Image width 240 mm, 1.00 mm slice spacing; Slice index 70; Head
FLAIR MR.
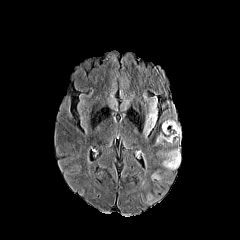
T1-weighted MR image.
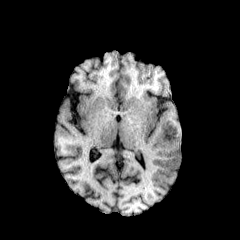
Post-contrast T1-weighted MRI.
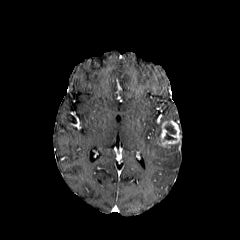
T2-weighted MR.
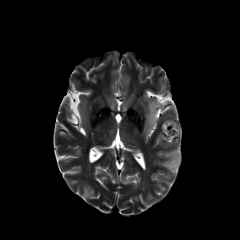
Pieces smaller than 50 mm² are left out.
enhancing tumor: x1=159 y1=120 x2=181 y2=146
necrotic tumor core: x1=165 y1=124 x2=175 y2=134
peritumoral edema: x1=162 y1=148 x2=180 y2=169, x1=144 y1=101 x2=156 y2=136